Brain; Axial slice; Slice 121 of 155
FLAIR MR image.
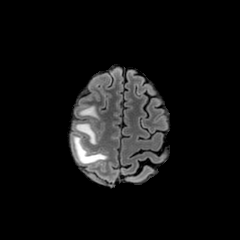
T1-weighted MR image.
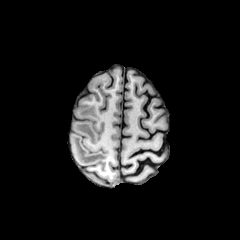
Post-contrast T1-weighted MRI.
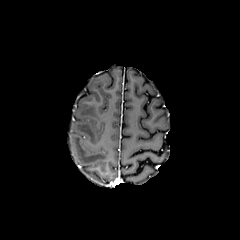
T2-weighted MRI.
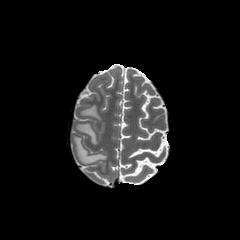
3 peritumoral edema regions appear at left=75, top=123, right=96, bottom=143; left=73, top=136, right=106, bottom=163; left=80, top=106, right=99, bottom=118.